FLAIR magnetic resonance.
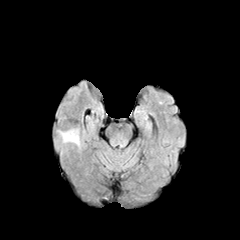
T1-weighted MRI.
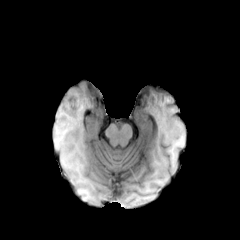
Post-contrast T1-weighted MR.
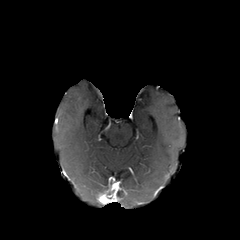
T2-weighted MR.
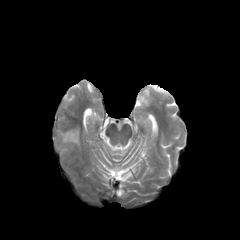
Axial view, 240x240
Segmented structures:
- peritumoral edema: {"x1": 64, "y1": 133, "x2": 78, "y2": 143}